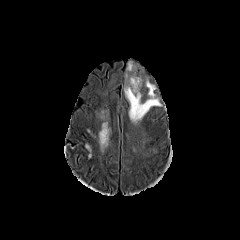
FLAIR magnetic resonance.
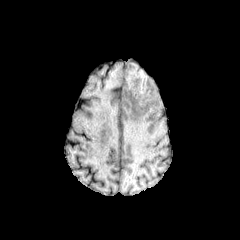
Same slice, T1-weighted MR.
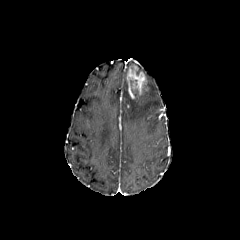
Post-contrast T1-weighted MR.
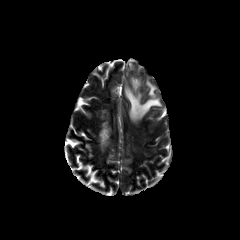
T2-weighted MR image.
Head. Axial slice. 240x240 px.
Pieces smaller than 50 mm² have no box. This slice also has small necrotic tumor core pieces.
peritumoral edema: bounding box box(124, 78, 161, 123)
enhancing tumor: bounding box box(126, 65, 148, 98)